Slice 64 of 155; Axial plane; Image width 240 mm; Head
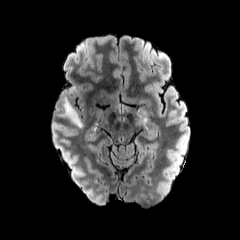
FLAIR magnetic resonance.
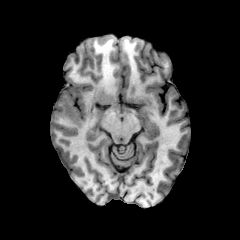
T1-weighted MR image.
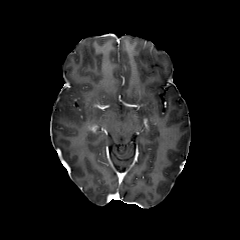
Post-contrast T1-weighted MR image.
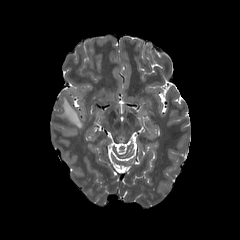
Same slice, T2-weighted MR image.
<segmentation>
  <peritumoral_edema>(left=58, top=98, right=82, bottom=127)</peritumoral_edema>
</segmentation>